FLAIR magnetic resonance.
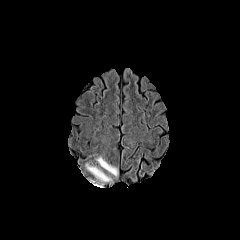
T1-weighted MR.
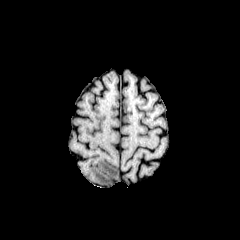
Post-contrast T1-weighted MR.
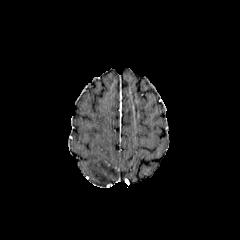
T2-weighted MR.
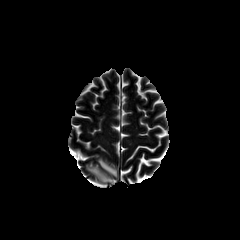
240x240 | Axial slice
2 peritumoral edema regions appear at 97,157,118,177; 86,164,112,185.